Axial plane.
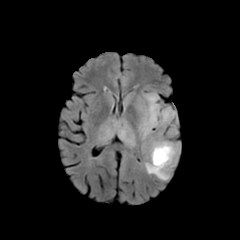
FLAIR MR.
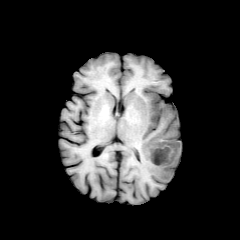
Same slice, T1-weighted MR image.
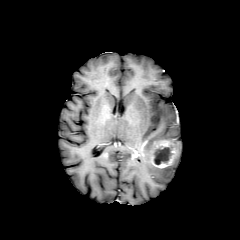
Post-contrast T1-weighted MR of the same slice.
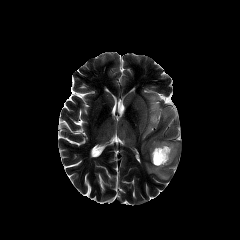
T2-weighted magnetic resonance.
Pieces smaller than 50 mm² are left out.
necrotic_tumor_core:
  - box=[154, 146, 172, 164]
enhancing_tumor:
  - box=[150, 140, 178, 168]
peritumoral_edema:
  - box=[145, 133, 180, 180]
  - box=[139, 91, 176, 139]